FLAIR MRI.
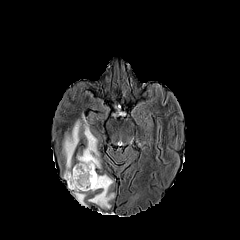
T1-weighted MRI.
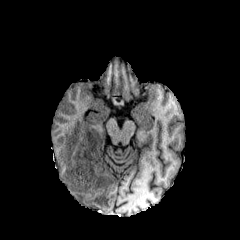
Post-contrast T1-weighted MRI.
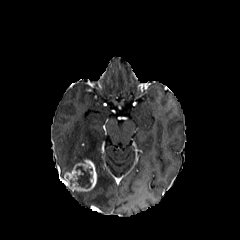
T2-weighted MR.
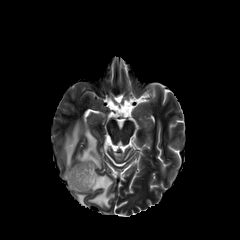
Axial plane
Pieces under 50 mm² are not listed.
{
  "peritumoral_edema": [
    "[x1=63, y1=115, x2=100, y2=172]",
    "[x1=88, y1=174, x2=114, y2=208]",
    "[x1=73, y1=191, x2=87, y2=206]"
  ],
  "enhancing_tumor": [
    "[x1=64, y1=159, x2=97, y2=191]"
  ],
  "necrotic_tumor_core": [
    "[x1=76, y1=166, x2=92, y2=188]"
  ]
}